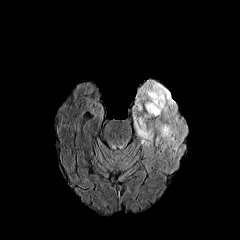
FLAIR magnetic resonance.
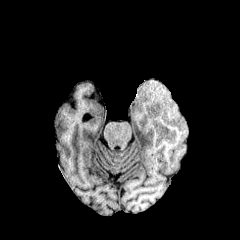
T1-weighted MR image.
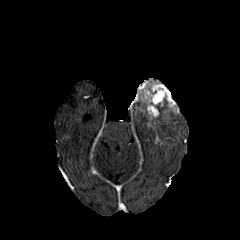
Post-contrast T1-weighted magnetic resonance of the same slice.
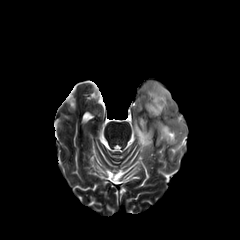
T2-weighted MR of the same slice.
Head; Image size 240x240; Axial slice
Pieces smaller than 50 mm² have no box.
Annotated regions:
- peritumoral edema: [133,106,185,149]
- enhancing tumor: [135,80,177,119]